FLAIR magnetic resonance.
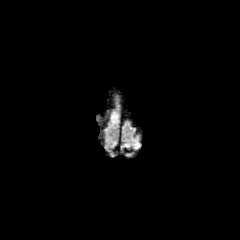
T1-weighted MRI.
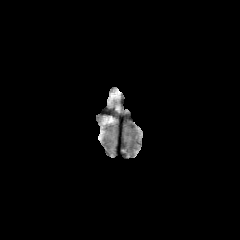
Post-contrast T1-weighted magnetic resonance.
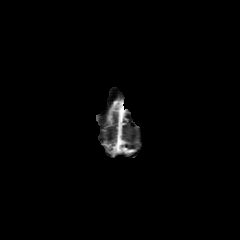
T2-weighted magnetic resonance.
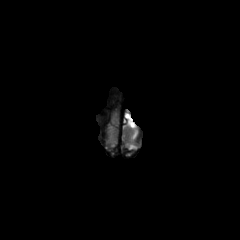
Axial plane
peritumoral edema: bounding box [110,109,115,127]
enhancing tumor: bounding box [107,110,112,126]